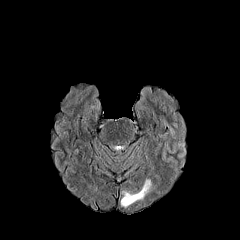
FLAIR MR image.
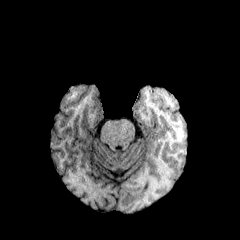
T1-weighted MRI of the same slice.
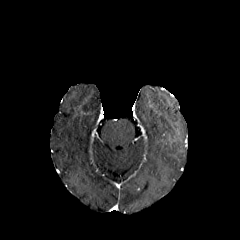
Same slice, post-contrast T1-weighted MR.
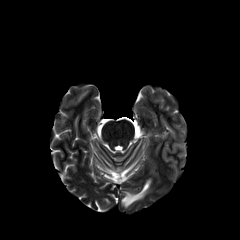
T2-weighted magnetic resonance of the same slice.
Head
The peritumoral edema is bounded by region(120, 179, 151, 207).